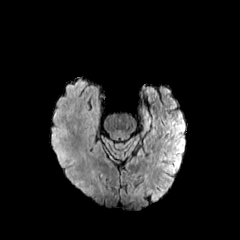
FLAIR magnetic resonance.
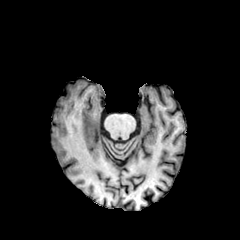
T1-weighted MR image.
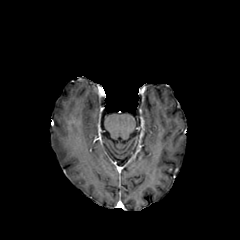
Post-contrast T1-weighted magnetic resonance of the same slice.
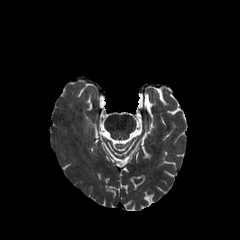
T2-weighted magnetic resonance.
Axial plane
peritumoral edema: region(50, 138, 90, 195)